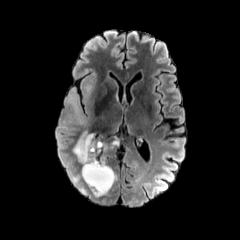
FLAIR MRI.
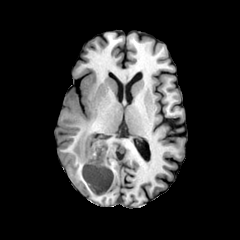
T1-weighted MRI of the same slice.
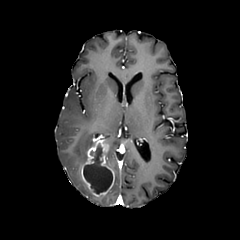
Same slice, post-contrast T1-weighted MRI.
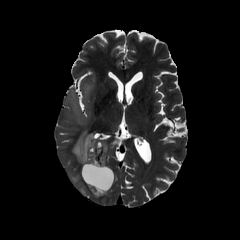
T2-weighted magnetic resonance.
Axial plane.
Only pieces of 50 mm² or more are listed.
necrotic tumor core: bounding box (x1=83, y1=143, x2=112, y2=194)
peritumoral edema: bounding box (x1=66, y1=78, x2=95, y2=126), (x1=73, y1=131, x2=94, y2=163)
enhancing tumor: bounding box (x1=81, y1=138, x2=114, y2=196)